FLAIR MRI.
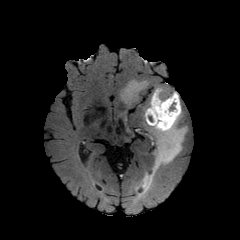
T1-weighted MR image.
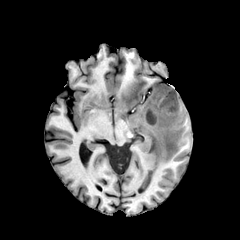
Post-contrast T1-weighted MR image.
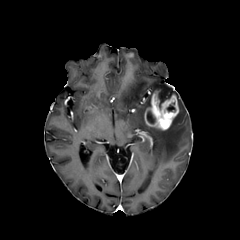
T2-weighted MRI.
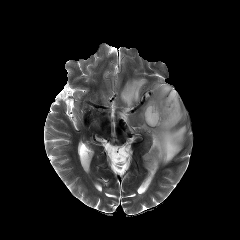
Brain.
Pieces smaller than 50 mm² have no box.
The largest necrotic tumor core region is at 147 111 155 123. The 2 largest peritumoral edema regions are located at 144 85 186 171, 121 80 147 105. The enhancing tumor appears at 144 91 178 129.